FLAIR MR.
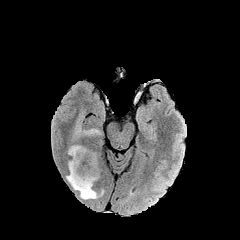
T1-weighted MR image.
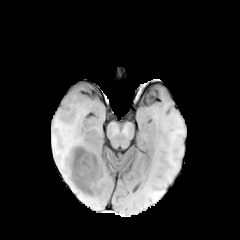
Post-contrast T1-weighted MR.
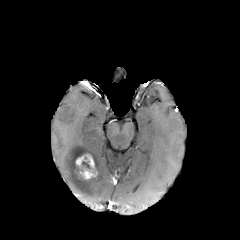
T2-weighted MR image.
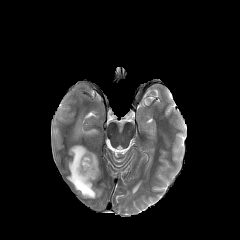
Axial plane
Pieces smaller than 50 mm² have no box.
necrotic tumor core — (left=75, top=161, right=91, bottom=178)
peritumoral edema — (left=66, top=144, right=103, bottom=199), (left=74, top=123, right=100, bottom=138)
enhancing tumor — (left=75, top=153, right=97, bottom=180)